FLAIR MR image.
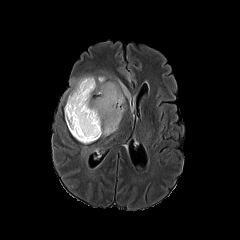
T1-weighted magnetic resonance.
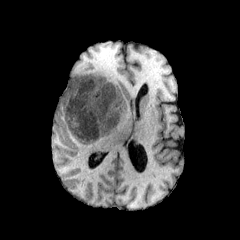
Post-contrast T1-weighted MR.
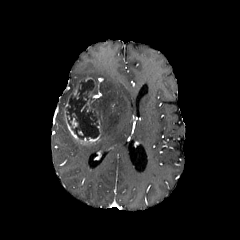
T2-weighted MRI.
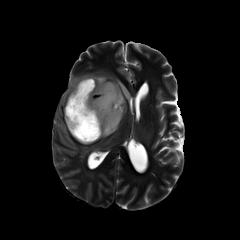
Brain; Image size 240x240; Axial plane
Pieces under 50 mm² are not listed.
peritumoral edema: 66,75,134,137 | necrotic tumor core: 66,79,99,139 | enhancing tumor: 64,77,101,144